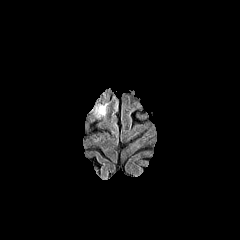
FLAIR MR image.
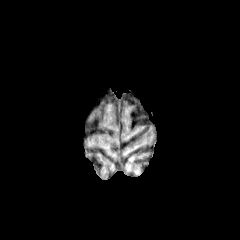
T1-weighted MR.
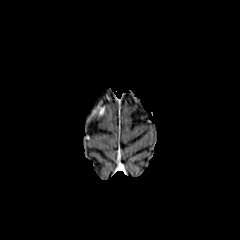
Post-contrast T1-weighted MR.
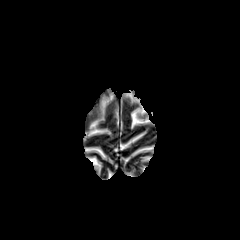
T2-weighted MRI.
Brain
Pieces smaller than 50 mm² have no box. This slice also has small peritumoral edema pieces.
Segmented structures:
• enhancing tumor: (93,105,104,116)